Axial plane. Slice 85 of 155. Brain.
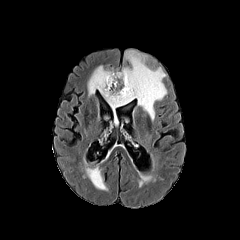
FLAIR magnetic resonance.
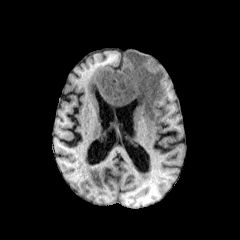
T1-weighted MR image.
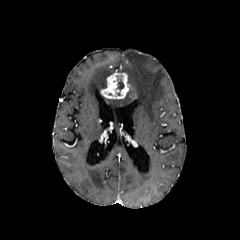
Post-contrast T1-weighted MRI.
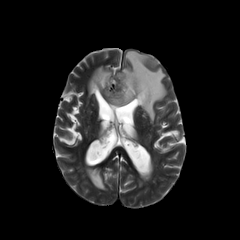
T2-weighted MR.
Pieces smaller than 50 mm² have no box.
Annotated regions:
• necrotic tumor core: 117:79:124:90
• enhancing tumor: 100:72:130:99
• peritumoral edema: 106:50:166:120, 88:65:113:95, 86:168:107:190